FLAIR MR.
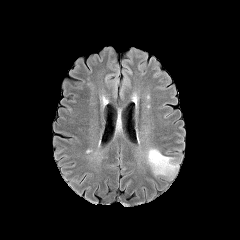
T1-weighted MR image.
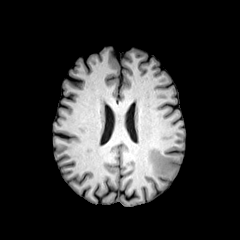
Post-contrast T1-weighted MRI.
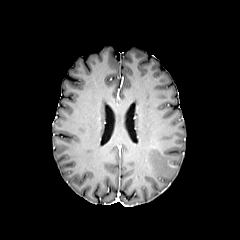
T2-weighted MRI.
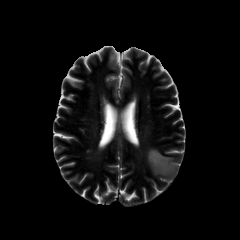
Image size 240x240.
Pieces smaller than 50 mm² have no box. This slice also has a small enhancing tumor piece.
peritumoral edema — (146, 148, 181, 179)